Slice 69 of 155; Brain; Axial slice
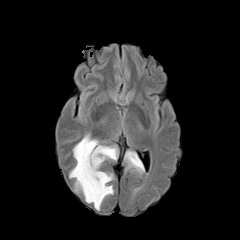
FLAIR magnetic resonance.
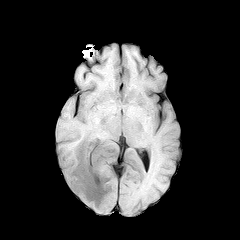
T1-weighted MR image of the same slice.
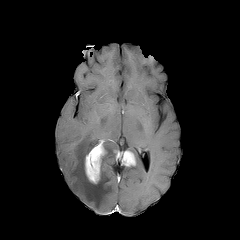
Post-contrast T1-weighted magnetic resonance.
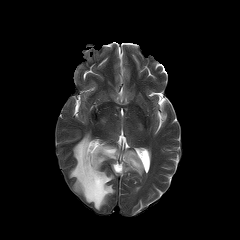
T2-weighted MR.
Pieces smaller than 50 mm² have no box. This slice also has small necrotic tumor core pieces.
peritumoral_edema:
  - <bbox>69, 134, 114, 210</bbox>
  - <bbox>125, 150, 144, 173</bbox>
  - <bbox>101, 143, 118, 165</bbox>
enhancing_tumor:
  - <bbox>114, 150, 135, 166</bbox>
  - <bbox>85, 143, 106, 183</bbox>